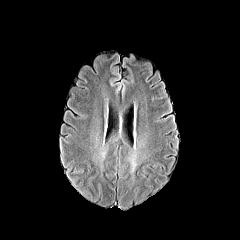
FLAIR MR.
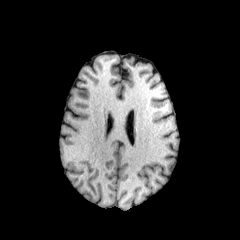
T1-weighted MRI of the same slice.
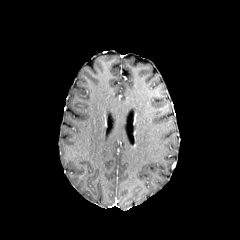
Post-contrast T1-weighted MR image of the same slice.
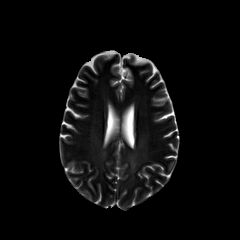
T2-weighted MRI of the same slice.
Head
{
  "peritumoral_edema": [
    "(x1=129, y1=153, x2=136, y2=172)"
  ]
}